Slice index 113 | Axial slice | Brain
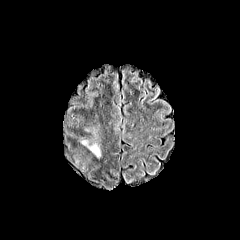
FLAIR MR image.
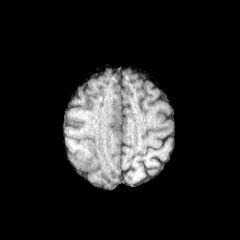
T1-weighted MRI.
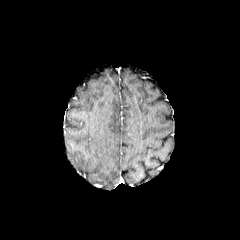
Post-contrast T1-weighted MR of the same slice.
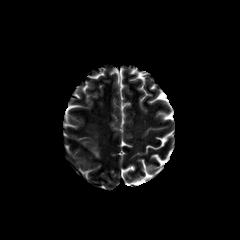
T2-weighted magnetic resonance.
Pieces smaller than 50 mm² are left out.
peritumoral_edema:
  - 80 140 101 158